FLAIR magnetic resonance.
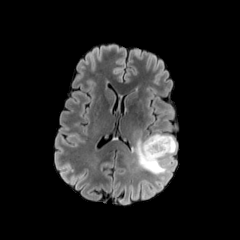
T1-weighted MR.
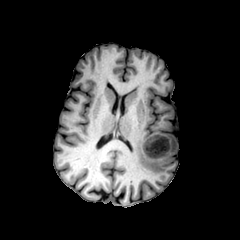
Post-contrast T1-weighted magnetic resonance.
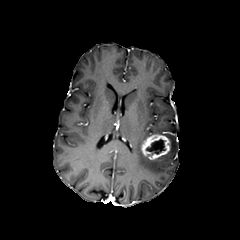
T2-weighted MR.
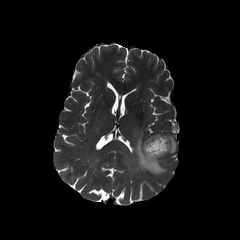
Brain | Axial plane | 240x240
The enhancing tumor lies within <box>141,134,170,159</box>. The peritumoral edema is at <box>132,133,176,174</box>. The necrotic tumor core is bounded by <box>145,138,166,156</box>.